Brain
FLAIR magnetic resonance.
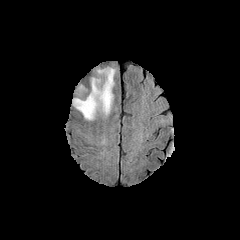
T1-weighted magnetic resonance.
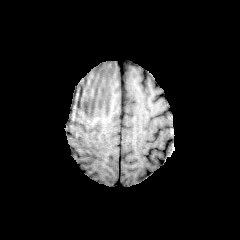
Post-contrast T1-weighted MR.
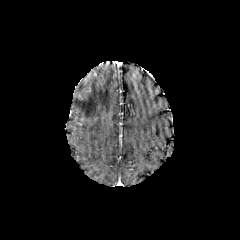
T2-weighted magnetic resonance.
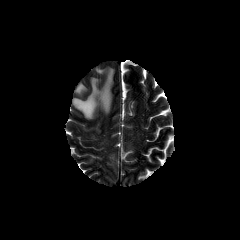
2 peritumoral edema regions appear at {"x1": 72, "y1": 67, "x2": 115, "y2": 120}, {"x1": 77, "y1": 84, "x2": 86, "y2": 92}.